Slice index 90. Image width 240 mm, 1.00 mm slice spacing. Head.
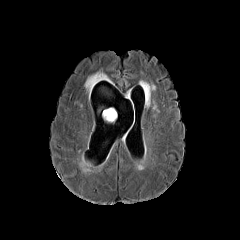
FLAIR MRI.
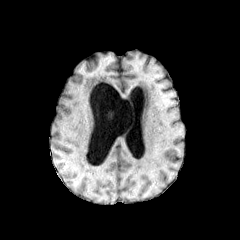
T1-weighted magnetic resonance.
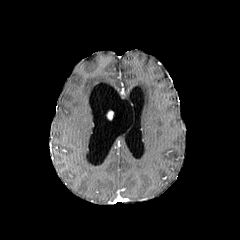
Post-contrast T1-weighted MRI of the same slice.
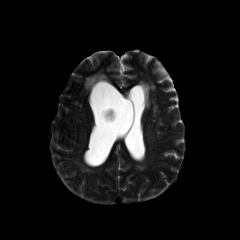
T2-weighted MR image.
{
  "peritumoral_edema": [
    "region(103, 108, 116, 120)",
    "region(85, 72, 112, 96)"
  ],
  "enhancing_tumor": [
    "region(106, 110, 113, 119)"
  ]
}